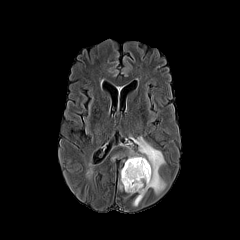
FLAIR magnetic resonance.
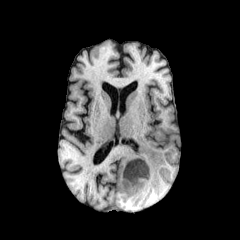
Same slice, T1-weighted MR image.
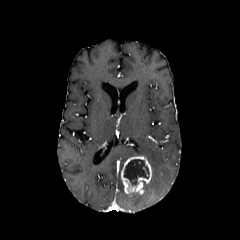
Same slice, post-contrast T1-weighted MR image.
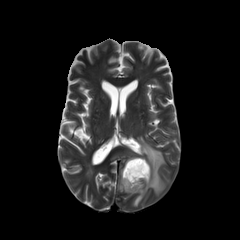
T2-weighted MRI of the same slice.
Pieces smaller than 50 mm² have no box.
{"necrotic_tumor_core": ["[x1=124, y1=159, x2=149, y2=185]"], "peritumoral_edema": ["[x1=129, y1=136, x2=165, y2=206]"], "enhancing_tumor": ["[x1=121, y1=156, x2=151, y2=194]"]}